FLAIR MR image.
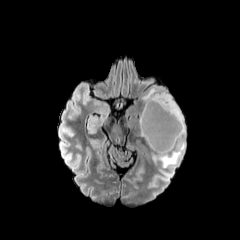
T1-weighted MRI.
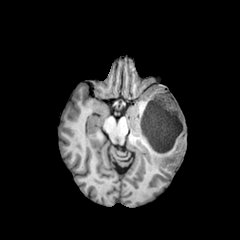
Post-contrast T1-weighted MRI.
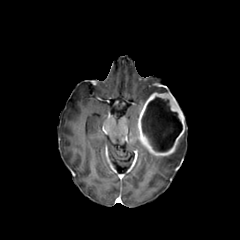
T2-weighted MR.
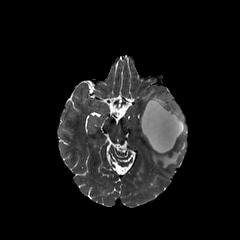
Brain.
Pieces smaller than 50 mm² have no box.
Annotated regions:
* peritumoral edema: [142, 86, 167, 104], [151, 127, 186, 167]
* enhancing tumor: [137, 91, 185, 156]
* necrotic tumor core: [141, 97, 182, 152]